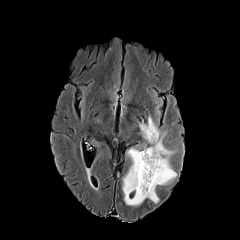
FLAIR MRI.
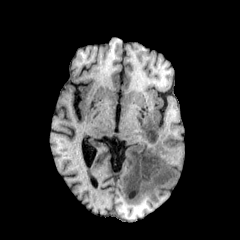
T1-weighted magnetic resonance.
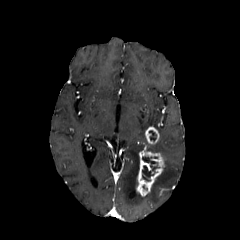
Post-contrast T1-weighted magnetic resonance of the same slice.
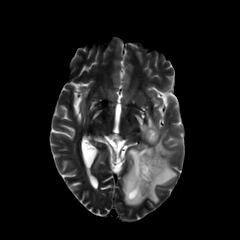
T2-weighted MRI.
Brain
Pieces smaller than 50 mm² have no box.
Segmented structures:
• peritumoral edema: left=122, top=116, right=177, bottom=206
• enhancing tumor: left=145, top=126, right=159, bottom=144; left=136, top=146, right=165, bottom=196
• necrotic tumor core: left=142, top=156, right=159, bottom=181; left=149, top=130, right=156, bottom=140